Slice 135 of 155
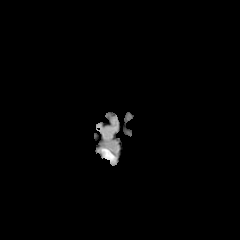
FLAIR MRI.
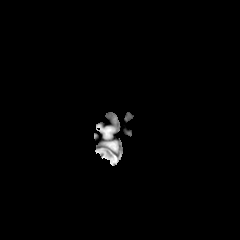
T1-weighted MR.
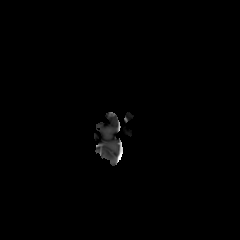
Same slice, post-contrast T1-weighted magnetic resonance.
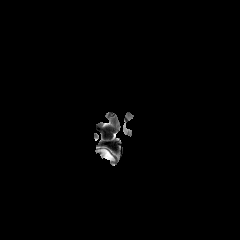
T2-weighted MR.
peritumoral edema — l=104, t=150, r=112, b=158